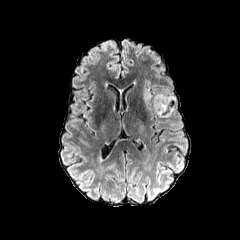
FLAIR magnetic resonance.
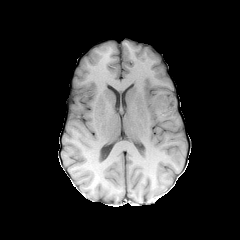
T1-weighted magnetic resonance of the same slice.
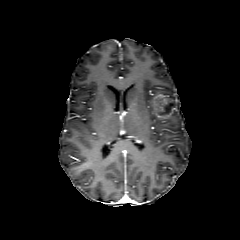
Post-contrast T1-weighted magnetic resonance.
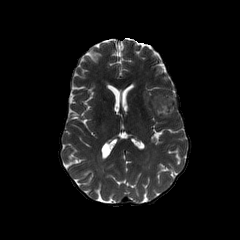
T2-weighted MRI.
Axial plane | Brain
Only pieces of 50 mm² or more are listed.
peritumoral edema: 144 91 151 100 | enhancing tumor: 150 94 174 118 | necrotic tumor core: 160 102 172 114